FLAIR magnetic resonance.
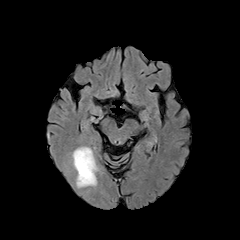
T1-weighted MR.
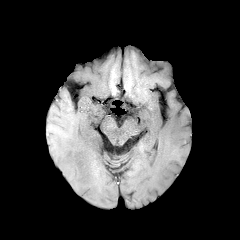
Post-contrast T1-weighted MRI.
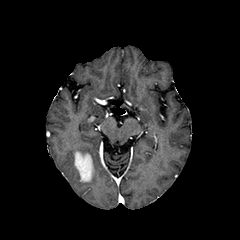
T2-weighted MR.
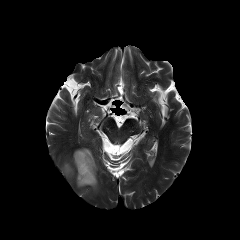
Brain
Annotated regions:
* peritumoral edema: left=72, top=147, right=97, bottom=187
* enhancing tumor: left=74, top=151, right=93, bottom=182